FLAIR magnetic resonance.
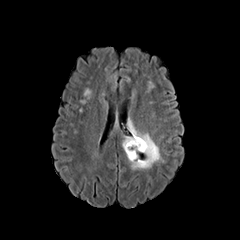
T1-weighted MRI.
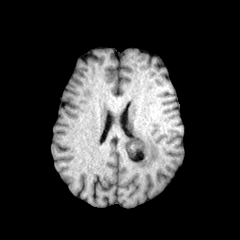
Post-contrast T1-weighted magnetic resonance.
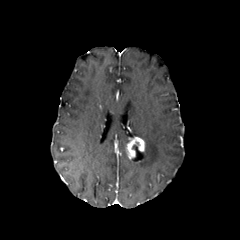
T2-weighted MRI.
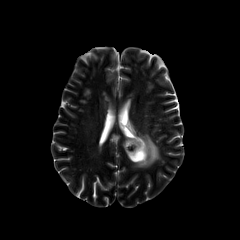
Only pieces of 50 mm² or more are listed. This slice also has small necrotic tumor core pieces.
Annotated regions:
- peritumoral edema: left=122, top=121, right=161, bottom=168
- enhancing tumor: left=126, top=136, right=144, bottom=159